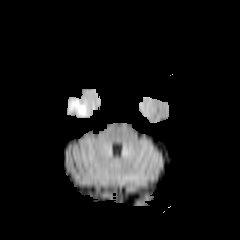
FLAIR magnetic resonance.
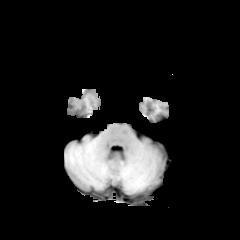
T1-weighted magnetic resonance.
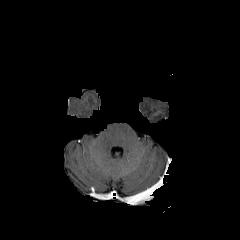
Same slice, post-contrast T1-weighted MRI.
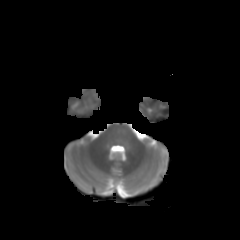
T2-weighted MR.
240x240 px; Axial view
peritumoral edema: [71, 101, 85, 113]